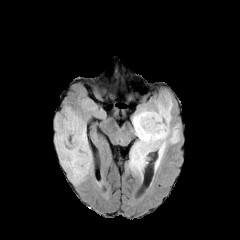
FLAIR MR.
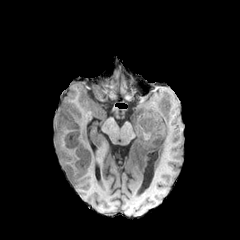
T1-weighted MRI of the same slice.
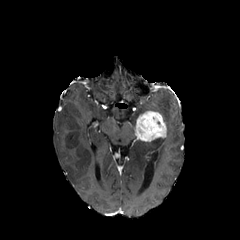
Post-contrast T1-weighted MR image.
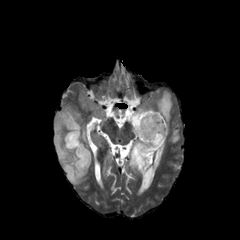
T2-weighted magnetic resonance.
240x240, Brain
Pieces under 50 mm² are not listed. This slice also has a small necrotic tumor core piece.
<segmentation>
  <peritumoral_edema>(126,93,179,181), (55,106,92,183)</peritumoral_edema>
  <enhancing_tumor>(134,111,166,141)</enhancing_tumor>
</segmentation>